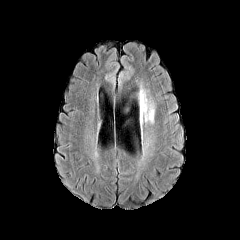
FLAIR magnetic resonance.
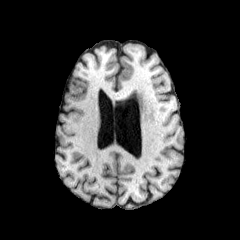
T1-weighted MR.
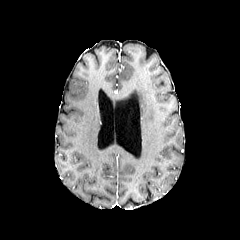
Post-contrast T1-weighted MR.
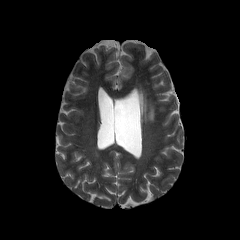
Same slice, T2-weighted MR.
Axial plane
* peritumoral edema: 139 90 153 122